Head
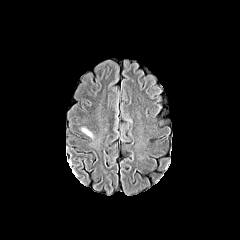
FLAIR magnetic resonance.
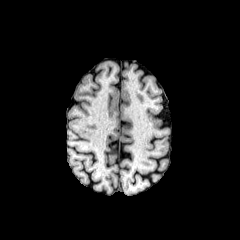
Same slice, T1-weighted MR image.
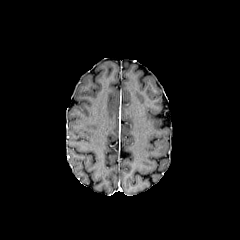
Post-contrast T1-weighted magnetic resonance.
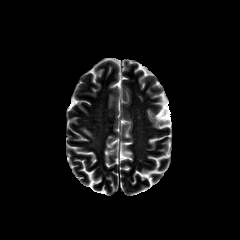
T2-weighted MRI.
peritumoral edema: box(82, 129, 93, 138)